Axial plane, Brain, Slice 60/155
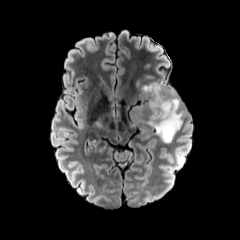
FLAIR MR.
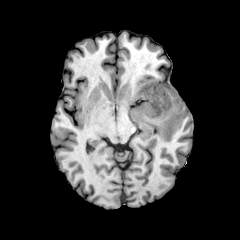
T1-weighted MRI.
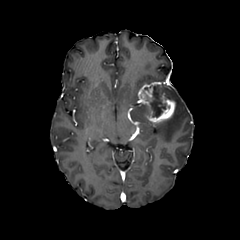
Post-contrast T1-weighted MR.
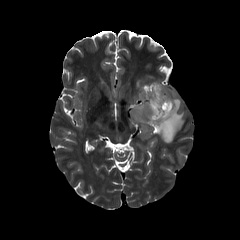
T2-weighted MR of the same slice.
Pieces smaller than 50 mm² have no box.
<segmentation>
  <necrotic_tumor_core>{"x1": 150, "y1": 85, "x2": 166, "y2": 117}</necrotic_tumor_core>
  <peritumoral_edema>{"x1": 147, "y1": 82, "x2": 184, "y2": 142}, {"x1": 134, "y1": 104, "x2": 146, "y2": 114}</peritumoral_edema>
  <enhancing_tumor>{"x1": 138, "y1": 82, "x2": 175, "y2": 123}</enhancing_tumor>
</segmentation>